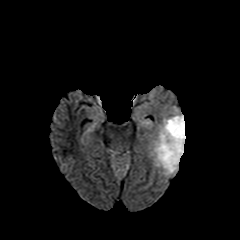
FLAIR MRI.
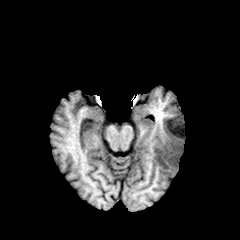
Same slice, T1-weighted MRI.
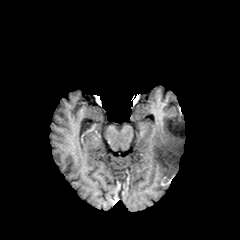
Post-contrast T1-weighted MR of the same slice.
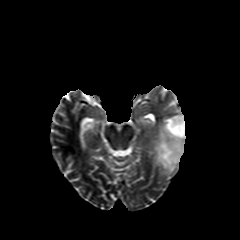
T2-weighted MRI.
Brain
Annotated regions:
- peritumoral edema: bbox=[151, 108, 185, 174]